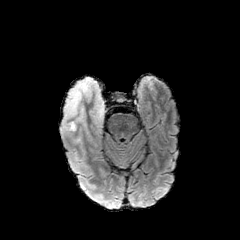
FLAIR MR.
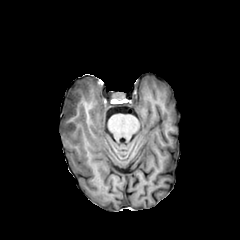
T1-weighted MR image of the same slice.
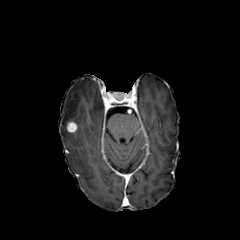
Post-contrast T1-weighted MR of the same slice.
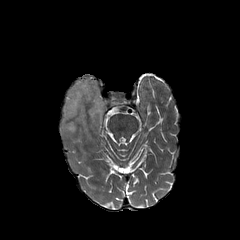
T2-weighted MR.
Head, Axial slice
peritumoral_edema:
  - 61 77 105 141
enhancing_tumor:
  - 66 122 76 132